Axial view. Slice 73/155. 240x240 px. Image width 240 mm, 1.00 mm slice spacing. Head.
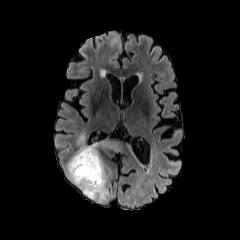
FLAIR MR image.
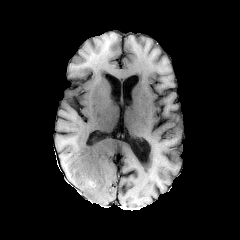
T1-weighted MR.
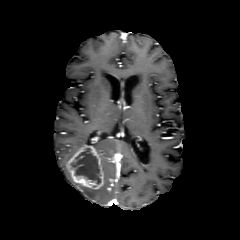
Same slice, post-contrast T1-weighted magnetic resonance.
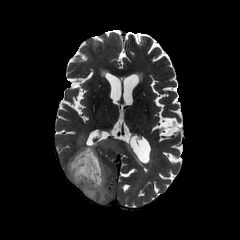
T2-weighted MR.
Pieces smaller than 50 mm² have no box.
<segmentation>
  <peritumoral_edema>l=66, t=158, r=110, b=202; l=89, t=139, r=122, b=152; l=77, t=133, r=85, b=149</peritumoral_edema>
  <enhancing_tumor>l=69, t=145, r=103, b=189</enhancing_tumor>
  <necrotic_tumor_core>l=72, t=148, r=100, b=184</necrotic_tumor_core>
</segmentation>